Axial slice; Image width 240 mm; Slice index 71
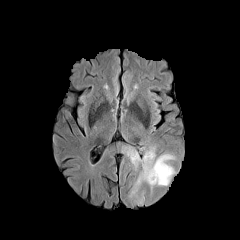
FLAIR MR.
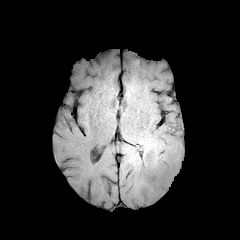
T1-weighted MR.
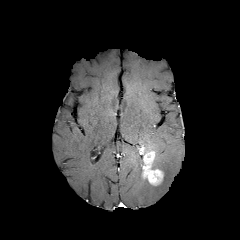
Same slice, post-contrast T1-weighted MRI.
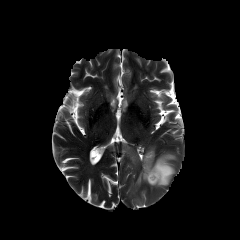
T2-weighted MR.
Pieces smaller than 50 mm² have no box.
{"enhancing_tumor": ["142:151:163:185"], "peritumoral_edema": ["121:144:143:165", "130:154:175:196"]}